Image width 240 mm | Brain
FLAIR magnetic resonance.
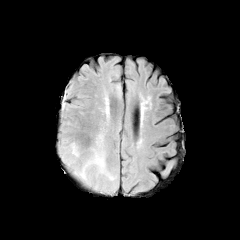
T1-weighted magnetic resonance.
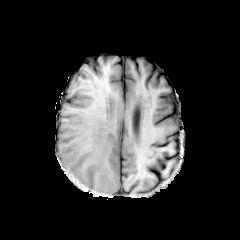
Post-contrast T1-weighted MRI.
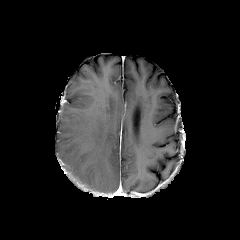
T2-weighted MR image.
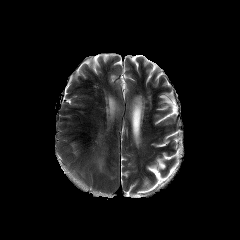
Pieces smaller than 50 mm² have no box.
peritumoral edema: [96, 158, 103, 167]